Image width 240 mm, 1.00 mm slice spacing
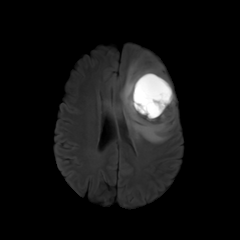
FLAIR MR.
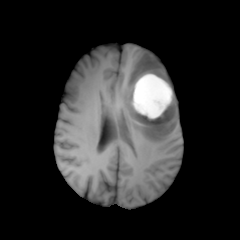
T1-weighted MR of the same slice.
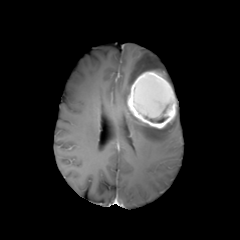
Post-contrast T1-weighted MR image.
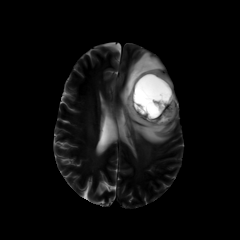
Same slice, T2-weighted magnetic resonance.
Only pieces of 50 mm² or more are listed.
The largest necrotic tumor core region appears at x1=145 y1=116 x2=168 y2=123. The peritumoral edema is bounded by x1=119 y1=51 x2=176 y2=143. The enhancing tumor is bounded by x1=127 y1=71 x2=176 y2=128.